FLAIR MR image.
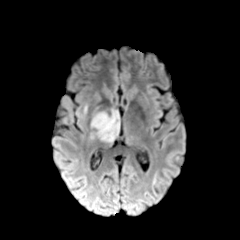
T1-weighted MRI.
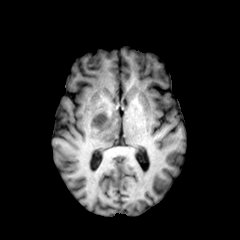
Post-contrast T1-weighted magnetic resonance.
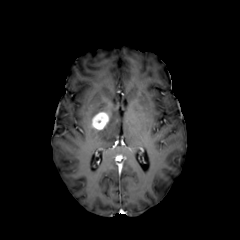
T2-weighted MRI.
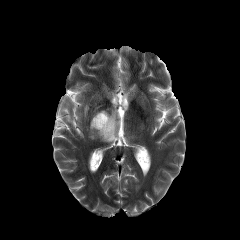
240x240
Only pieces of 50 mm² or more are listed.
The enhancing tumor is at l=91, t=112, r=109, b=130. The largest peritumoral edema region appears at l=96, t=110, r=119, b=142.